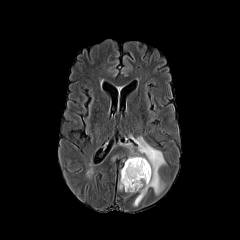
FLAIR magnetic resonance.
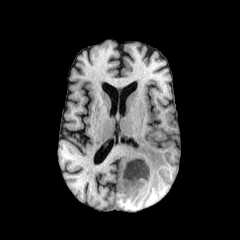
Same slice, T1-weighted MR image.
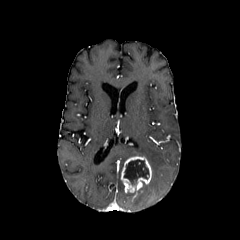
Post-contrast T1-weighted MR.
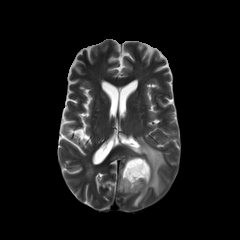
Same slice, T2-weighted magnetic resonance.
Axial plane | 240x240 px
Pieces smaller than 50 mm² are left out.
peritumoral edema at 133 136 165 206
necrotic tumor core at 124 159 149 184
enhancing tumor at 121 156 152 193